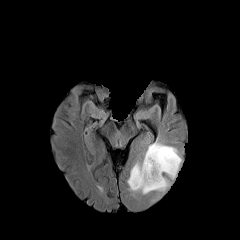
FLAIR MR image.
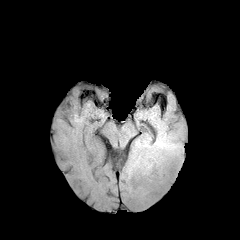
T1-weighted MR of the same slice.
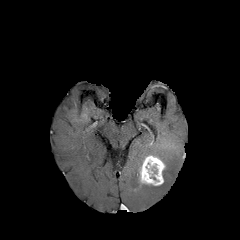
Post-contrast T1-weighted MR.
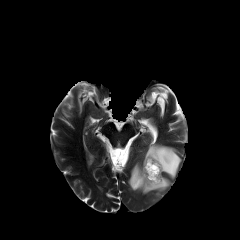
T2-weighted magnetic resonance.
Axial plane. Head.
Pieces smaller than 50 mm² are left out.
The necrotic tumor core is located at x1=146, y1=160, x2=159, y2=179. The peritumoral edema is located at x1=127, y1=140, x2=182, y2=194. The largest enhancing tumor region is located at x1=139, y1=155, x2=165, y2=185.